Slice 108 of 155 | Head
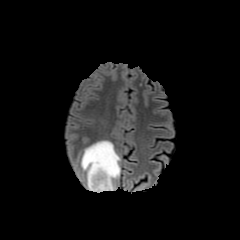
FLAIR magnetic resonance.
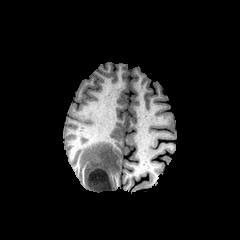
T1-weighted MR.
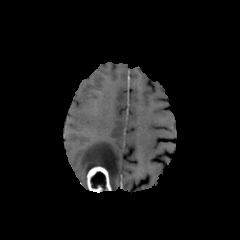
Post-contrast T1-weighted MRI.
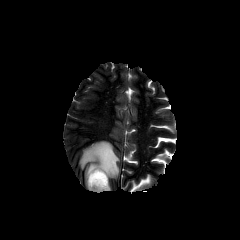
T2-weighted MR image.
necrotic tumor core: bounding box [x1=91, y1=172, x2=106, y2=190]
peritumoral edema: bounding box [x1=80, y1=140, x2=120, y2=190]
enhancing tumor: bounding box [x1=87, y1=166, x2=111, y2=192]